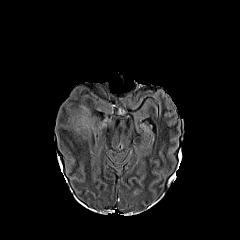
FLAIR MR.
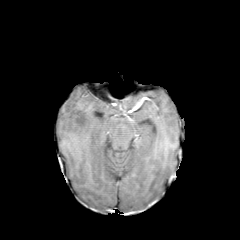
T1-weighted MR image of the same slice.
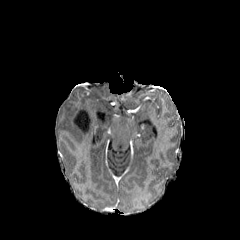
Post-contrast T1-weighted MR.
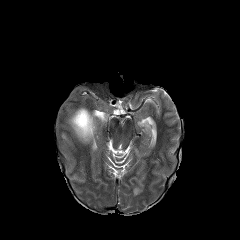
T2-weighted MR image.
240x240 px, Axial plane, Brain
The necrotic tumor core is at [74, 110, 90, 131]. The peritumoral edema is located at [69, 105, 94, 139].